Axial slice, Slice 56 of 155, 240x240 px, Brain
FLAIR MR image.
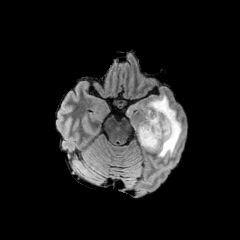
T1-weighted MR.
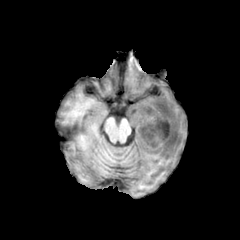
Post-contrast T1-weighted MR image.
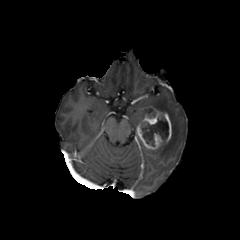
T2-weighted MR.
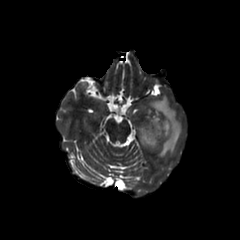
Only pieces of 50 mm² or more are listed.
<segmentation>
  <peritumoral_edema>left=142, top=95, right=184, bottom=157</peritumoral_edema>
  <necrotic_tumor_core>left=141, top=117, right=168, bottom=146</necrotic_tumor_core>
  <enhancing_tumor>left=136, top=108, right=171, bottom=149</enhancing_tumor>
</segmentation>